FLAIR MR image.
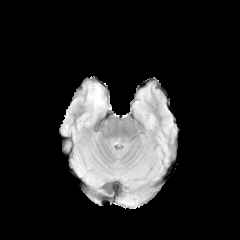
T1-weighted MR.
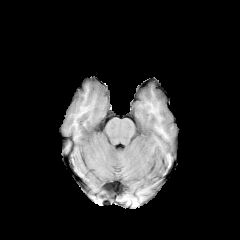
Post-contrast T1-weighted MRI.
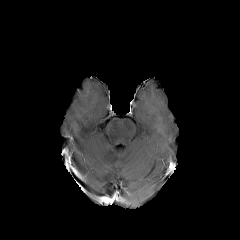
T2-weighted MRI.
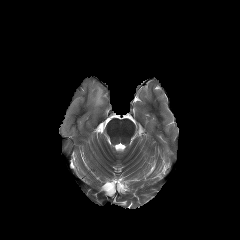
Axial slice.
The peritumoral edema is bounded by x1=88, y1=85, x2=104, y2=109.